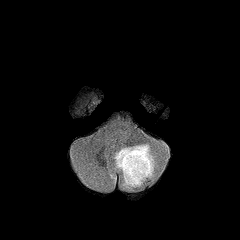
FLAIR MR.
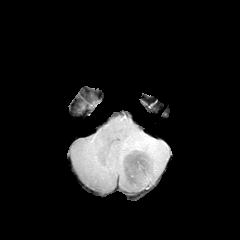
T1-weighted MR image.
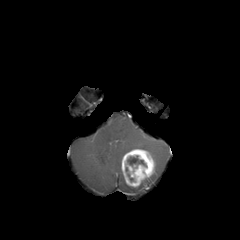
Post-contrast T1-weighted MR image.
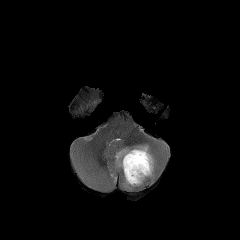
T2-weighted MR.
240x240
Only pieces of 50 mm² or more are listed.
{"peritumoral_edema": ["x1=109 y1=143 x2=159 y2=190"], "necrotic_tumor_core": ["x1=127 y1=156 x2=146 y2=166"], "enhancing_tumor": ["x1=121 y1=149 x2=155 y2=187"]}